Axial view. Slice 97 of 155.
FLAIR magnetic resonance.
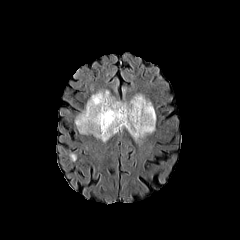
T1-weighted magnetic resonance.
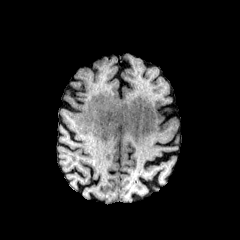
Post-contrast T1-weighted MR image.
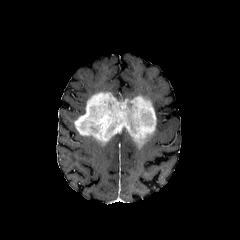
T2-weighted MR image.
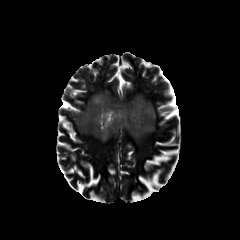
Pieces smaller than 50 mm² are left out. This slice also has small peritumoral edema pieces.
{
  "enhancing_tumor": [
    "l=74, t=92, r=156, b=146"
  ]
}